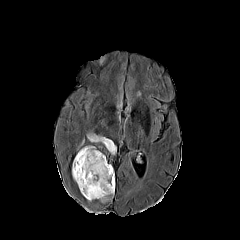
FLAIR MRI.
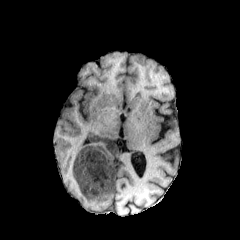
Same slice, T1-weighted MR image.
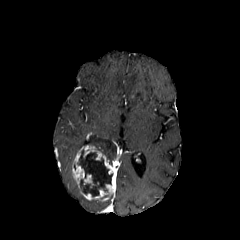
Post-contrast T1-weighted MRI.
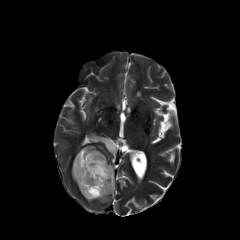
T2-weighted MR.
Axial plane; Brain
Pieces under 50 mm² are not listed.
The largest enhancing tumor region is at bbox=[72, 145, 115, 201]. The largest peritumoral edema region is located at bbox=[89, 134, 115, 154]. The largest necrotic tumor core region is located at bbox=[78, 150, 112, 196].